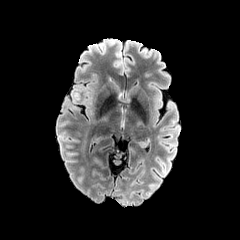
FLAIR MRI.
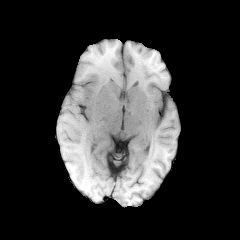
T1-weighted magnetic resonance of the same slice.
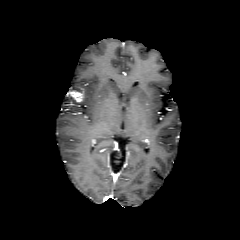
Same slice, post-contrast T1-weighted MRI.
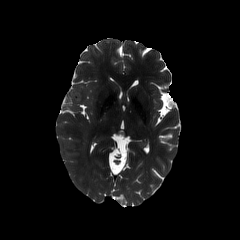
T2-weighted magnetic resonance of the same slice.
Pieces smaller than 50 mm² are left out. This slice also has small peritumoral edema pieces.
Annotated regions:
• enhancing tumor: box(71, 92, 83, 101)